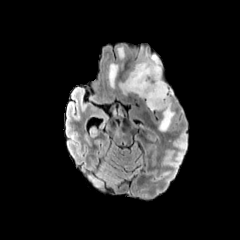
FLAIR MR.
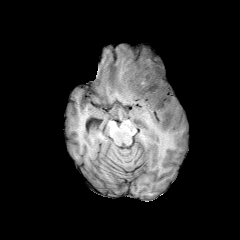
T1-weighted MR image.
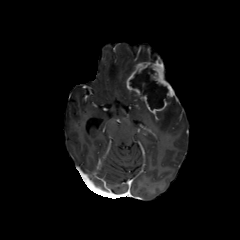
Post-contrast T1-weighted magnetic resonance.
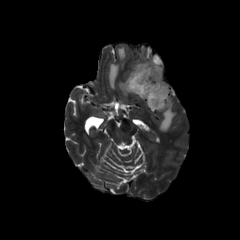
T2-weighted magnetic resonance.
Axial plane | 240x240
enhancing tumor: bounding box <bbox>126, 59, 176, 113</bbox>
necrotic tumor core: bounding box <bbox>130, 67, 169, 109</bbox>
peritumoral edema: bounding box <bbox>119, 46, 159, 94</bbox>, <bbox>108, 46, 125, 87</bbox>, <bbox>157, 99, 175, 131</bbox>